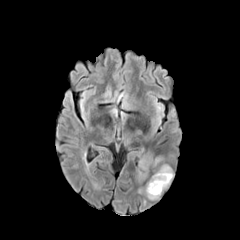
FLAIR MR image.
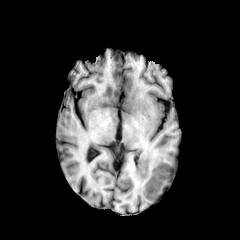
T1-weighted MR image of the same slice.
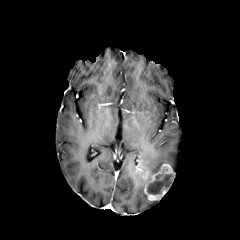
Post-contrast T1-weighted MRI.
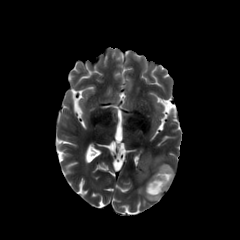
T2-weighted magnetic resonance.
Head
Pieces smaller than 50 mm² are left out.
enhancing_tumor:
  - <bbox>142, 163, 174, 200</bbox>
necrotic_tumor_core:
  - <bbox>147, 174, 172, 194</bbox>
peritumoral_edema:
  - <bbox>139, 153, 163, 170</bbox>